Brain | 240x240 px | Axial slice
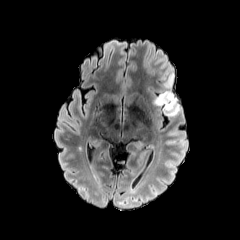
FLAIR MR.
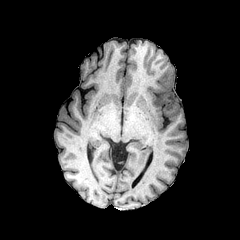
Same slice, T1-weighted MR.
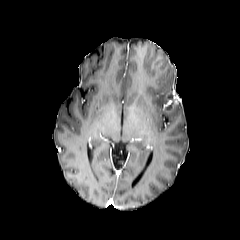
Post-contrast T1-weighted MRI of the same slice.
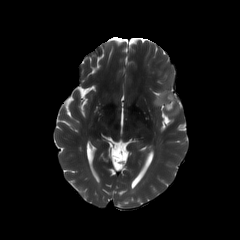
T2-weighted MR of the same slice.
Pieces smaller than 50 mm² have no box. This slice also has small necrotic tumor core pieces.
2 peritumoral edema regions are bounded by [153,63,174,106], [163,103,179,116]. The largest enhancing tumor region is bounded by [164,93,172,107].